Image covers 240 mm x 240 mm, Slice 105 of 155
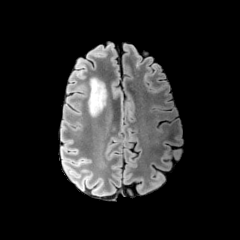
FLAIR MR image.
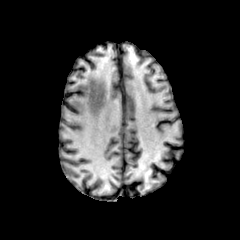
T1-weighted magnetic resonance.
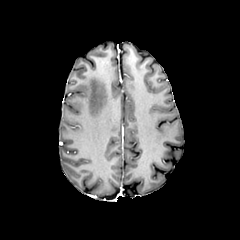
Post-contrast T1-weighted MR image.
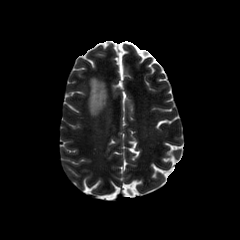
T2-weighted MRI.
peritumoral edema: box(88, 77, 107, 116)